240x240 | Axial view
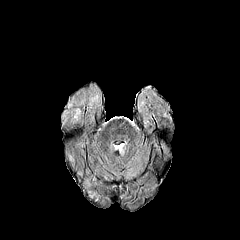
FLAIR MR image.
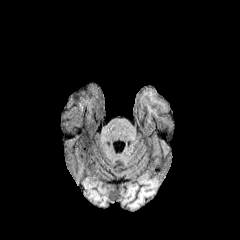
T1-weighted MRI.
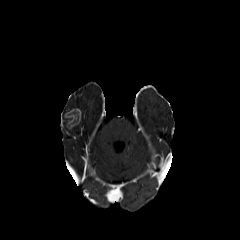
Post-contrast T1-weighted magnetic resonance.
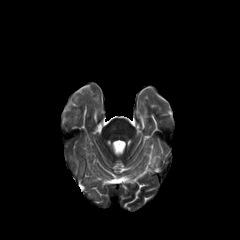
T2-weighted magnetic resonance.
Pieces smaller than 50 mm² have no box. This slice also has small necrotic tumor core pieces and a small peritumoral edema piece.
Findings:
* enhancing tumor: left=65, top=109, right=80, bottom=129